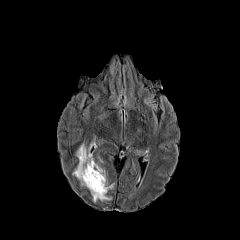
FLAIR magnetic resonance.
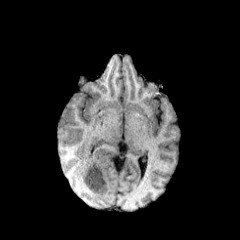
T1-weighted MR image.
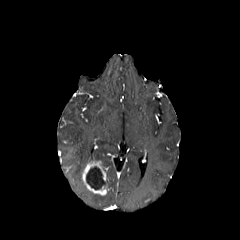
Post-contrast T1-weighted MR image of the same slice.
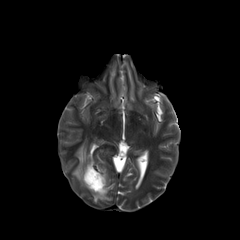
T2-weighted magnetic resonance.
Head
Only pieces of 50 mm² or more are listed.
necrotic_tumor_core:
  - left=86, top=167, right=105, bottom=189
peritumoral_edema:
  - left=91, top=192, right=111, bottom=202
  - left=73, top=143, right=93, bottom=185
enhancing_tumor:
  - left=82, top=160, right=108, bottom=195